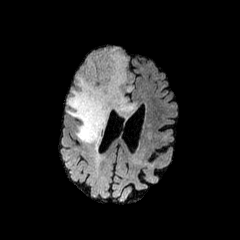
FLAIR magnetic resonance.
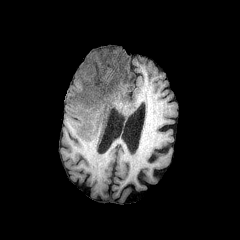
T1-weighted MR image.
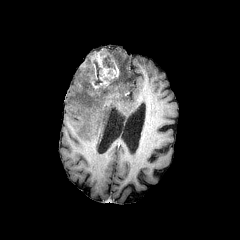
Post-contrast T1-weighted MR image.
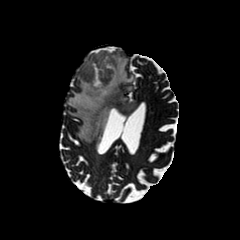
T2-weighted magnetic resonance.
Image size 240x240
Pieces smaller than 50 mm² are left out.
The 2 largest necrotic tumor core regions are bounded by region(93, 60, 102, 84); region(103, 55, 114, 68). The enhancing tumor is located at region(82, 48, 119, 104). The peritumoral edema is bounded by region(67, 47, 136, 146).